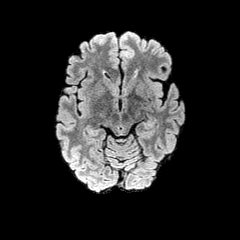
FLAIR MRI.
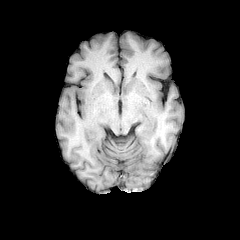
T1-weighted MR of the same slice.
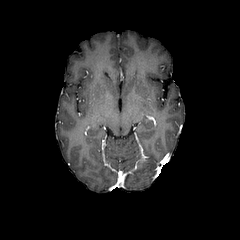
Post-contrast T1-weighted MRI.
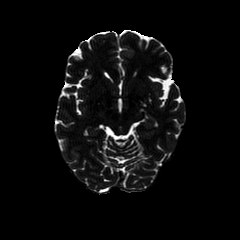
Same slice, T2-weighted MR image.
Axial plane.
peritumoral edema: [120, 33, 133, 57]